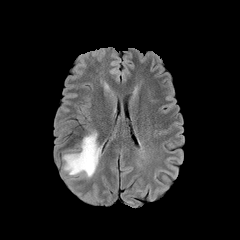
FLAIR MR.
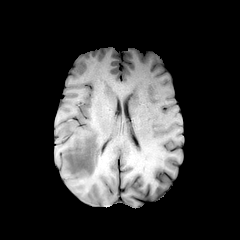
T1-weighted MR.
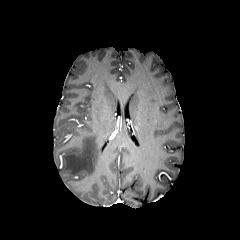
Post-contrast T1-weighted MR.
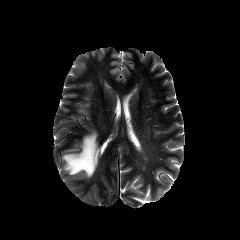
T2-weighted magnetic resonance.
Axial plane
The peritumoral edema appears at [63,131,100,177].